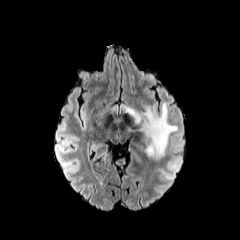
FLAIR MRI.
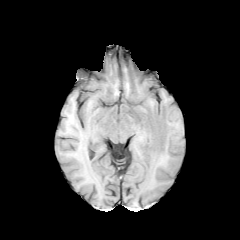
T1-weighted MR of the same slice.
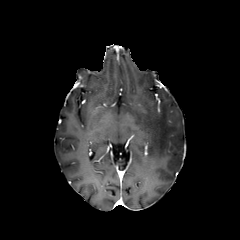
Post-contrast T1-weighted MR of the same slice.
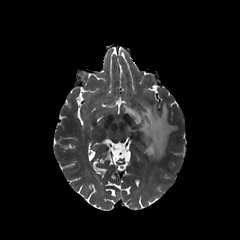
Same slice, T2-weighted magnetic resonance.
Head. 240x240 px.
The peritumoral edema is at bbox=[120, 102, 177, 158].